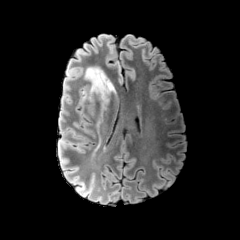
FLAIR MR image.
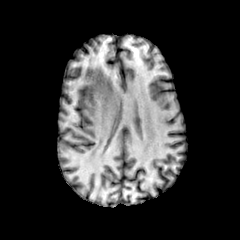
Same slice, T1-weighted MRI.
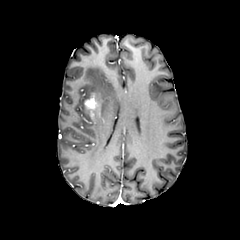
Post-contrast T1-weighted magnetic resonance.
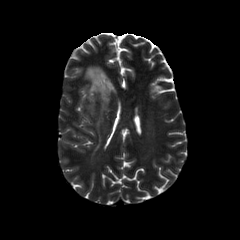
T2-weighted MR of the same slice.
240x240.
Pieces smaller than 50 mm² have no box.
The enhancing tumor lies within left=84, top=92, right=103, bottom=121. The largest peritumoral edema region appears at left=80, top=66, right=115, bottom=146.